FLAIR magnetic resonance.
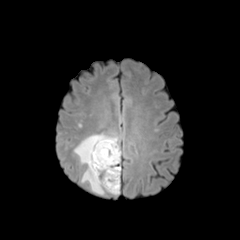
T1-weighted magnetic resonance.
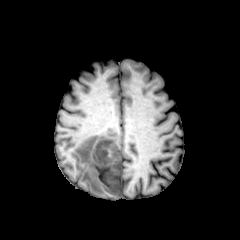
Post-contrast T1-weighted magnetic resonance.
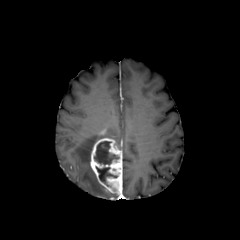
T2-weighted MR.
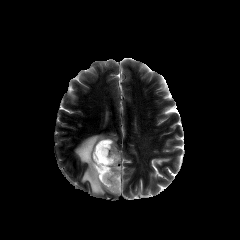
Axial view, Brain, 240x240 px
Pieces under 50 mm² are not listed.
peritumoral edema = (74, 134, 120, 194)
necrotic tumor core = (96, 167, 117, 183), (94, 141, 118, 164)
enhancing tumor = (90, 138, 122, 194)